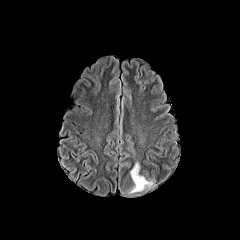
FLAIR MRI.
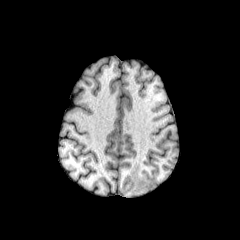
T1-weighted magnetic resonance of the same slice.
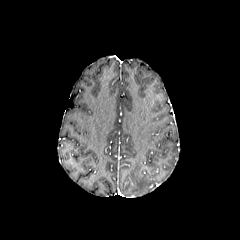
Same slice, post-contrast T1-weighted MRI.
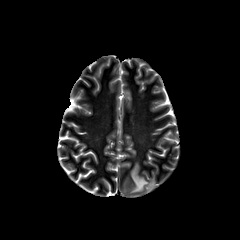
T2-weighted magnetic resonance of the same slice.
Head
- peritumoral edema: [x1=129, y1=162, x2=153, y2=193]